240x240, Axial slice, Head
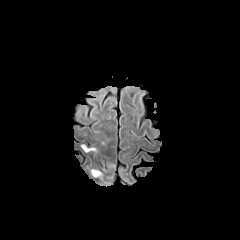
FLAIR MR image.
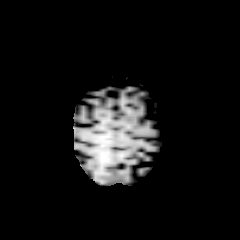
T1-weighted MR of the same slice.
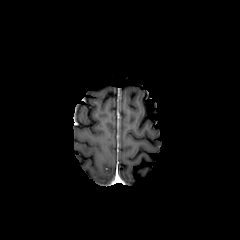
Post-contrast T1-weighted MR.
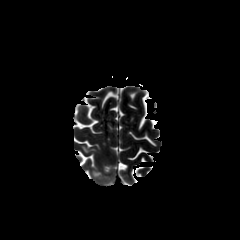
T2-weighted MR image.
2 peritumoral edema regions are bounded by 91,169,102,178; 82,145,95,152.